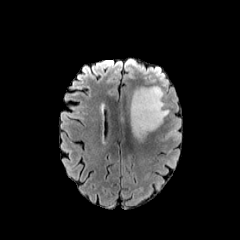
FLAIR magnetic resonance.
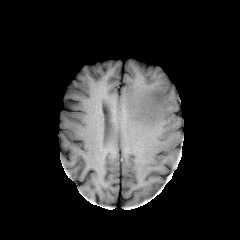
T1-weighted MR image.
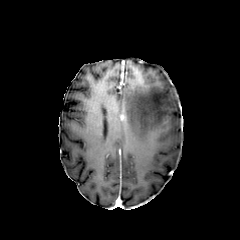
Same slice, post-contrast T1-weighted MR.
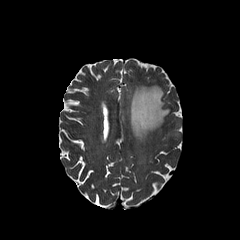
T2-weighted MR.
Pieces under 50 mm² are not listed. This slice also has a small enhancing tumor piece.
<segmentation>
  <peritumoral_edema>bbox=[130, 86, 169, 140]</peritumoral_edema>
</segmentation>